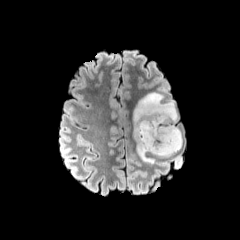
FLAIR MR image.
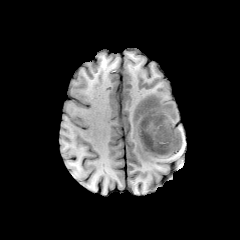
T1-weighted MR.
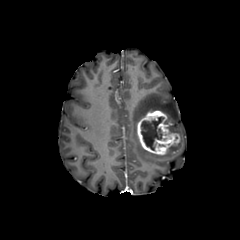
Same slice, post-contrast T1-weighted MR image.
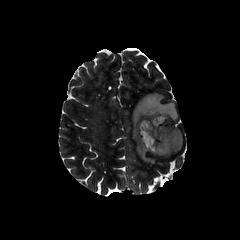
T2-weighted MR.
Image size 240x240, Head
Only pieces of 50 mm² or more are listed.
{
  "necrotic_tumor_core": [
    "<box>141,117,164,150</box>"
  ],
  "enhancing_tumor": [
    "<box>137,110,180,154</box>"
  ],
  "peritumoral_edema": [
    "<box>132,92,178,163</box>",
    "<box>150,124,182,156</box>"
  ]
}